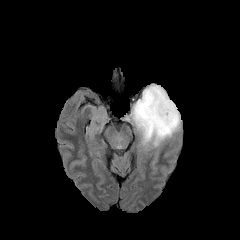
FLAIR magnetic resonance.
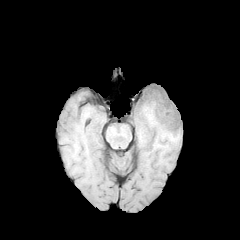
T1-weighted magnetic resonance of the same slice.
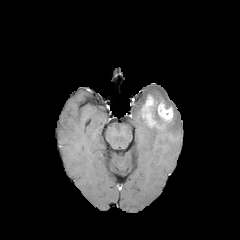
Post-contrast T1-weighted magnetic resonance.
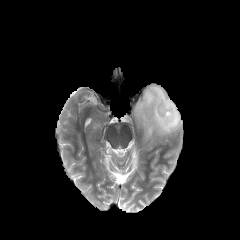
T2-weighted MR image of the same slice.
Brain.
peritumoral edema at 126,84,181,146; 154,109,162,125
enhancing tumor at 140,94,173,128